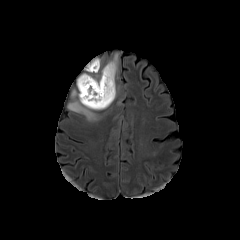
FLAIR MR image.
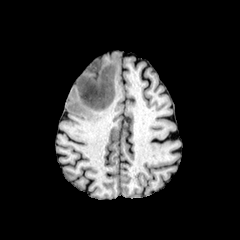
T1-weighted MRI.
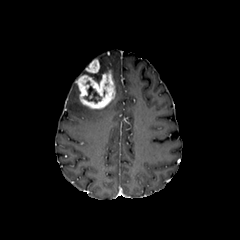
Post-contrast T1-weighted MR image of the same slice.
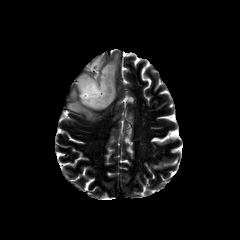
T2-weighted MRI.
Head | 240x240 px
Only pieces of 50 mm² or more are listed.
enhancing_tumor:
  - (x1=76, y1=70, x2=115, y2=108)
  - (x1=86, y1=59, x2=99, y2=73)
peritumoral_edema:
  - (x1=67, y1=53, x2=118, y2=121)
necrotic_tumor_core:
  - (x1=84, y1=85, x2=101, y2=102)